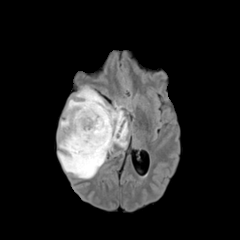
FLAIR magnetic resonance.
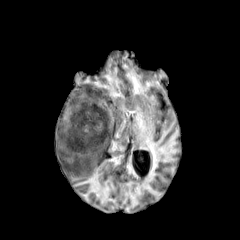
Same slice, T1-weighted magnetic resonance.
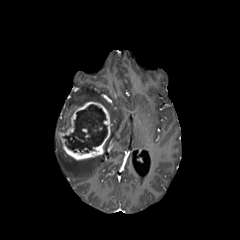
Post-contrast T1-weighted MRI of the same slice.
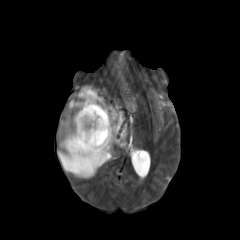
T2-weighted MRI.
Axial slice
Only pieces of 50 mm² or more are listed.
enhancing_tumor:
  - (left=57, top=101, right=112, bottom=160)
necrotic_tumor_core:
  - (left=63, top=104, right=107, bottom=153)
peritumoral_edema:
  - (left=58, top=85, right=128, bottom=178)